240x240. Image covers 240 mm x 240 mm. Axial view.
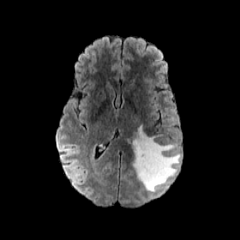
FLAIR MRI.
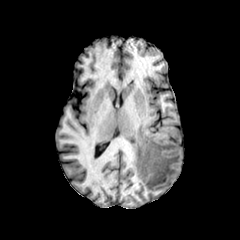
T1-weighted MR image of the same slice.
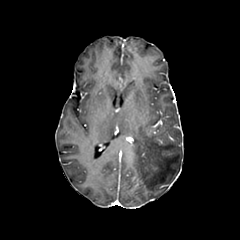
Post-contrast T1-weighted MR.
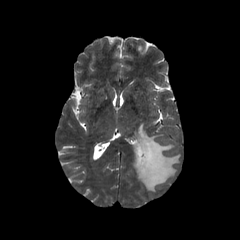
T2-weighted MR image.
The enhancing tumor is located at 149,164,158,171. The peritumoral edema is at 126,126,180,192.